Brain; 240x240
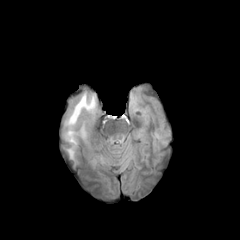
FLAIR MR.
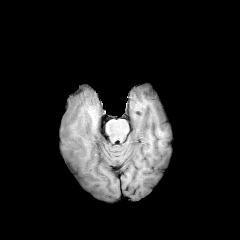
Same slice, T1-weighted MR.
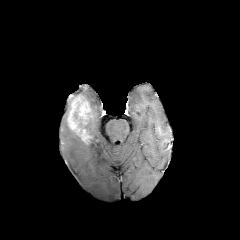
Post-contrast T1-weighted MR image.
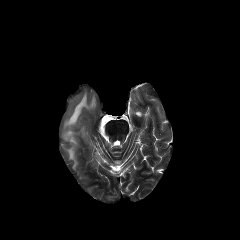
Same slice, T2-weighted magnetic resonance.
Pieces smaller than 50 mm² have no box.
peritumoral edema: l=63, t=92, r=96, b=164 | enhancing tumor: l=79, t=103, r=88, b=115; l=68, t=97, r=80, b=128